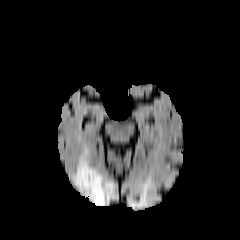
FLAIR MR.
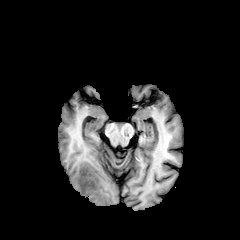
Same slice, T1-weighted MRI.
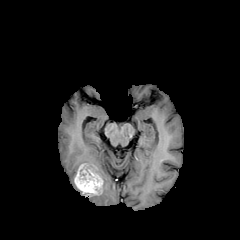
Post-contrast T1-weighted MRI.
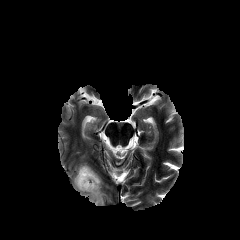
T2-weighted MR image.
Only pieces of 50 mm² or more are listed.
The enhancing tumor lies within (74, 163, 103, 196). The largest peritumoral edema region is bounded by (77, 153, 113, 205).